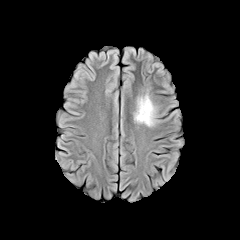
FLAIR magnetic resonance.
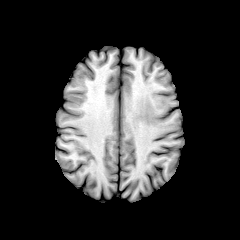
T1-weighted MR.
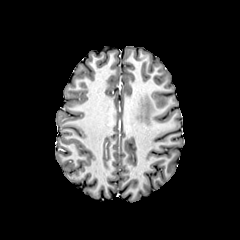
Post-contrast T1-weighted magnetic resonance.
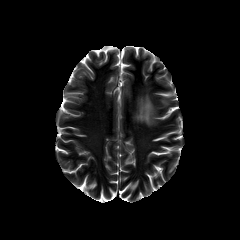
Same slice, T2-weighted MR.
Brain. Axial plane.
peritumoral_edema:
  - 134:95:155:126